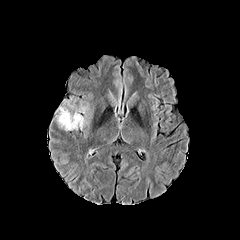
FLAIR MRI.
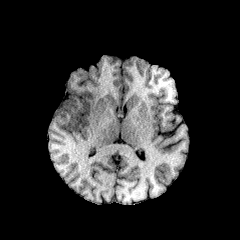
T1-weighted MRI.
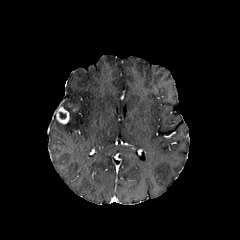
Post-contrast T1-weighted MR image of the same slice.
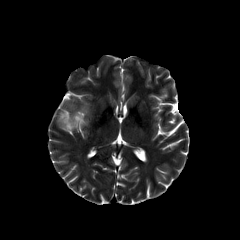
T2-weighted MR image of the same slice.
Axial slice
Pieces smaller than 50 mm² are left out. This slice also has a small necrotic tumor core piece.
* peritumoral edema: x1=59, y1=105, x2=87, y2=130
* enhancing tumor: x1=56, y1=107, x2=69, y2=124